FLAIR MR.
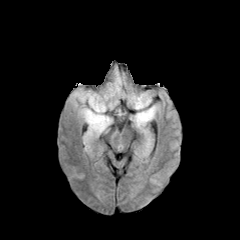
T1-weighted MR.
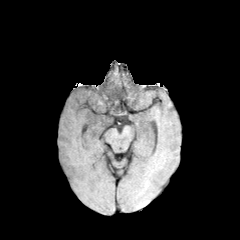
Post-contrast T1-weighted MRI.
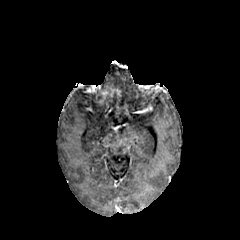
T2-weighted MRI.
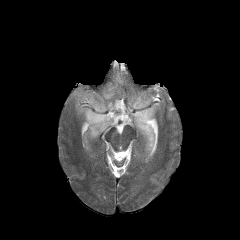
240x240 px. Axial plane.
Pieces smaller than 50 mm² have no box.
The largest enhancing tumor region is bounded by rect(99, 86, 120, 102). The 3 largest peritumoral edema regions are bounded by rect(71, 89, 120, 152); rect(130, 105, 158, 151); rect(107, 69, 151, 109).